FLAIR MR.
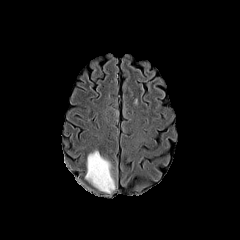
T1-weighted MR.
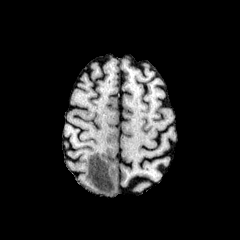
Post-contrast T1-weighted MR image.
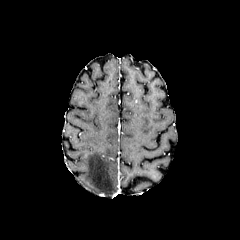
T2-weighted magnetic resonance.
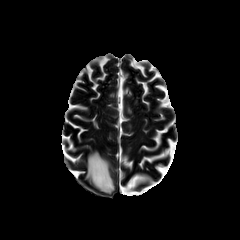
Axial plane. Brain. 240x240.
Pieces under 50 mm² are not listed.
The largest peritumoral edema region is bounded by (84,149,115,193).